Axial view | Head | Slice 62 of 155
FLAIR MR.
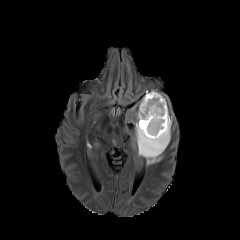
T1-weighted MR.
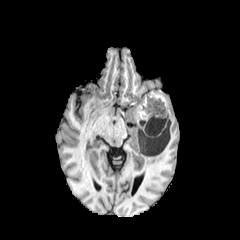
Post-contrast T1-weighted MRI.
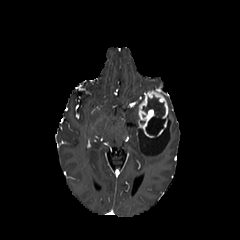
T2-weighted MR image.
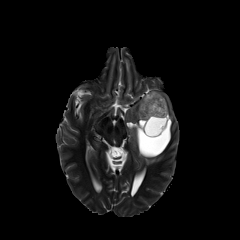
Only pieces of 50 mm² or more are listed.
The enhancing tumor appears at region(138, 90, 168, 137). The largest necrotic tumor core region appears at region(142, 96, 165, 135). The largest peritumoral edema region is located at region(125, 103, 173, 165).